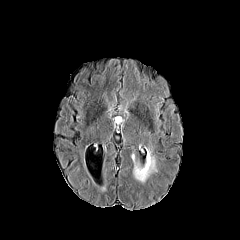
FLAIR magnetic resonance.
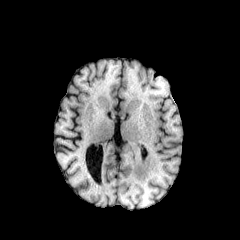
T1-weighted MR image.
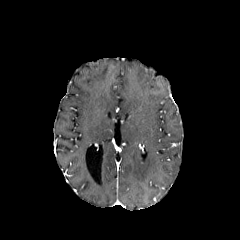
Post-contrast T1-weighted magnetic resonance of the same slice.
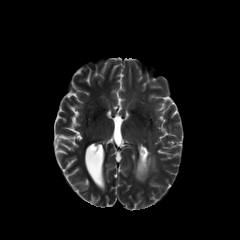
T2-weighted MR image of the same slice.
Axial plane; Head; Image size 240x240
The peritumoral edema is bounded by l=131, t=150, r=156, b=182.